240x240 | Axial plane | Brain
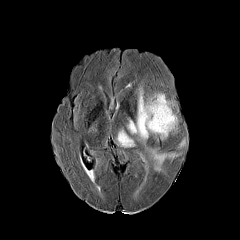
FLAIR MR image.
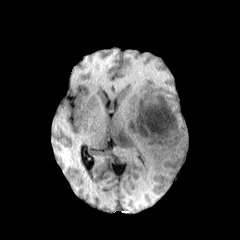
T1-weighted MRI.
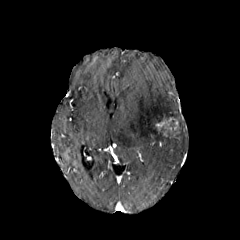
Same slice, post-contrast T1-weighted MR image.
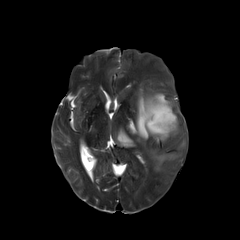
T2-weighted MR of the same slice.
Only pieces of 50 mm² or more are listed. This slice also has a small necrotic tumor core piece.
3 peritumoral edema regions appear at 127, 89, 182, 172; 177, 136, 186, 148; 116, 129, 135, 147. The enhancing tumor is located at 154, 116, 177, 136.